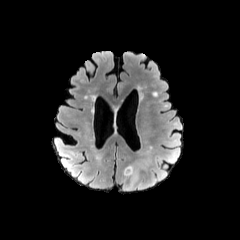
FLAIR MR.
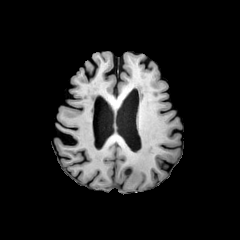
Same slice, T1-weighted MR.
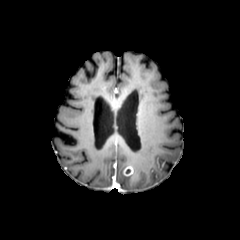
Same slice, post-contrast T1-weighted MR image.
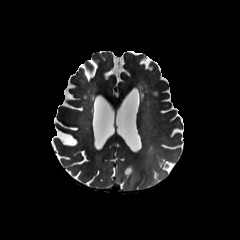
T2-weighted MRI.
Axial slice
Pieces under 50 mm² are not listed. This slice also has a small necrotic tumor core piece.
enhancing tumor at (122,166,141,185)
peritumoral edema at (119,161,157,191)